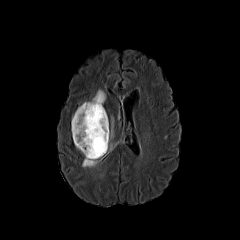
FLAIR MR.
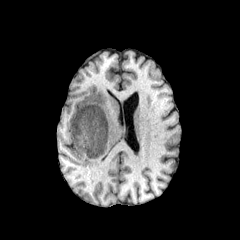
T1-weighted MRI.
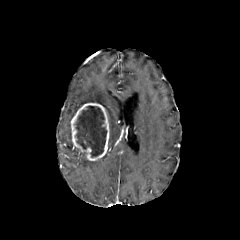
Post-contrast T1-weighted MR image.
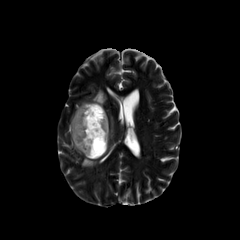
Same slice, T2-weighted MRI.
240x240 px. Brain. Axial slice.
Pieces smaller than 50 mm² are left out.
enhancing tumor at left=71, top=102, right=109, bottom=160
peritumoral edema at left=82, top=156, right=103, bottom=167; left=109, top=117, right=113, bottom=141; left=90, top=89, right=106, bottom=105
necrotic tumor core at left=76, top=106, right=106, bottom=157